Slice 98/155 | Image covers 240 mm x 240 mm | 240x240 px | Brain
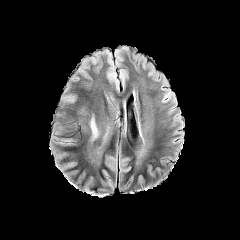
FLAIR MR image.
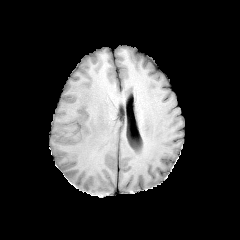
T1-weighted MRI of the same slice.
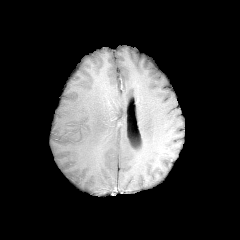
Same slice, post-contrast T1-weighted MR.
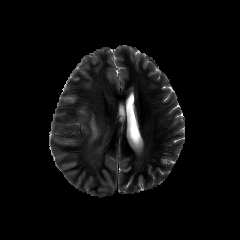
T2-weighted MR.
peritumoral edema: rect(90, 117, 98, 140)